240x240 px. Head. Axial plane.
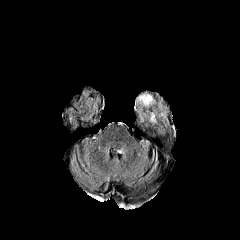
FLAIR MR image.
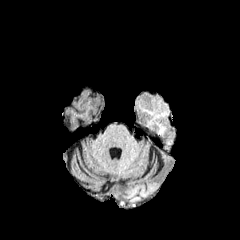
T1-weighted MRI of the same slice.
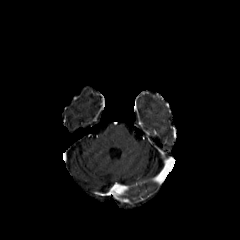
Same slice, post-contrast T1-weighted MRI.
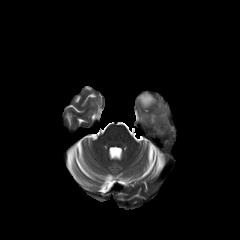
T2-weighted MR image.
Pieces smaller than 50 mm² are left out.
peritumoral edema: (left=138, top=94, right=153, bottom=106)